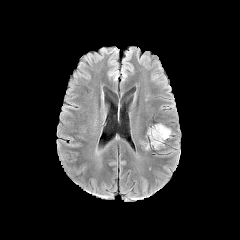
FLAIR MR image.
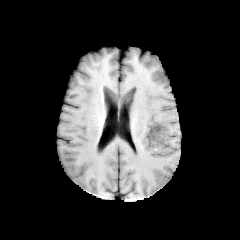
T1-weighted MRI.
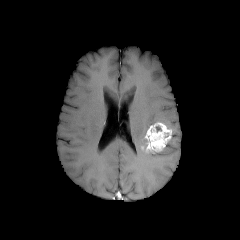
Same slice, post-contrast T1-weighted MR image.
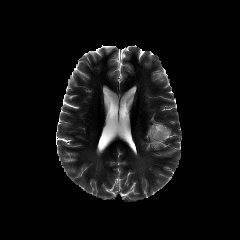
T2-weighted MR image.
Axial slice; Head; Image size 240x240
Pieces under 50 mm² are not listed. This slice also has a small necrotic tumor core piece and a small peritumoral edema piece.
- enhancing tumor: (145, 122, 171, 151)